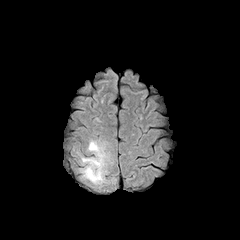
FLAIR MR.
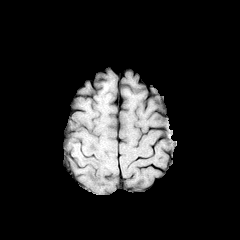
T1-weighted MR.
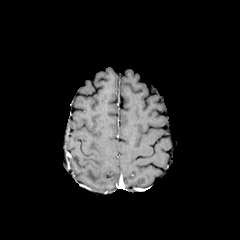
Post-contrast T1-weighted MR of the same slice.
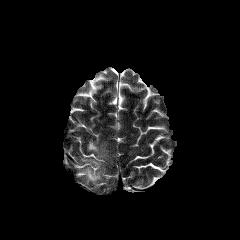
T2-weighted MR image.
Brain
The peritumoral edema lies within <bbox>82, 141, 105, 183</bbox>.